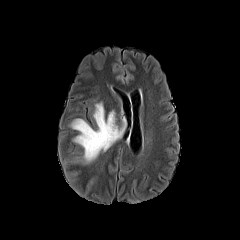
FLAIR MRI.
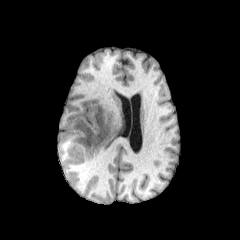
T1-weighted MR of the same slice.
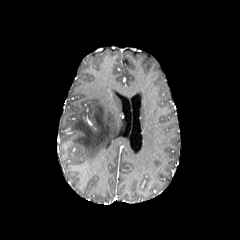
Same slice, post-contrast T1-weighted magnetic resonance.
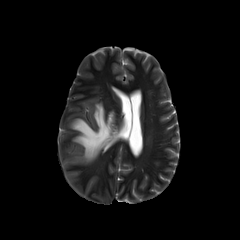
T2-weighted MRI.
peritumoral edema at bbox=[71, 102, 126, 162]